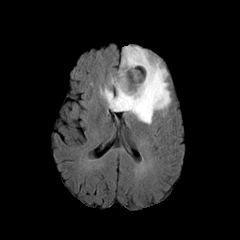
FLAIR MR image.
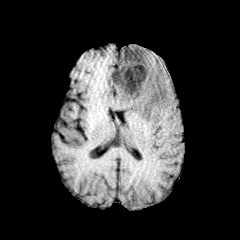
Same slice, T1-weighted magnetic resonance.
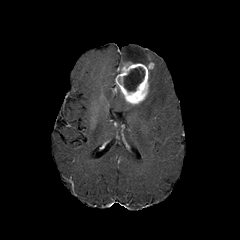
Post-contrast T1-weighted MR image of the same slice.
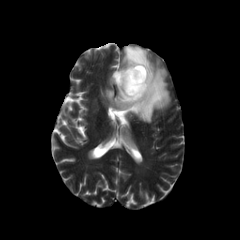
Same slice, T2-weighted MR.
Brain | Axial plane
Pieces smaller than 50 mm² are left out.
The necrotic tumor core is bounded by l=124, t=67, r=144, b=91. The enhancing tumor lies within l=115, t=61, r=154, b=105. The largest peritumoral edema region appears at l=100, t=45, r=171, b=123.